Brain; 240x240 px
FLAIR MR image.
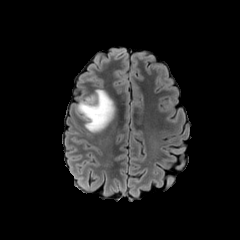
T1-weighted MRI.
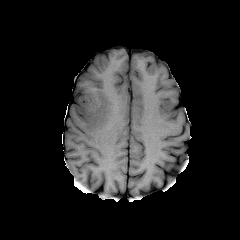
Post-contrast T1-weighted MRI.
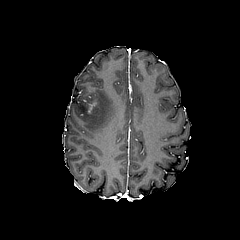
T2-weighted MR.
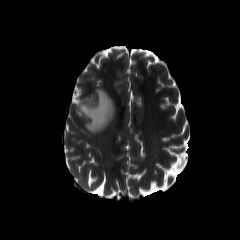
The peritumoral edema lies within (76,89,114,132). The enhancing tumor lies within (88,102,96,113).